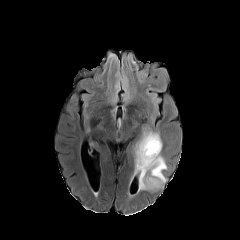
FLAIR MRI.
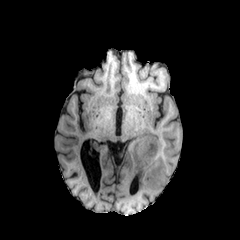
T1-weighted magnetic resonance.
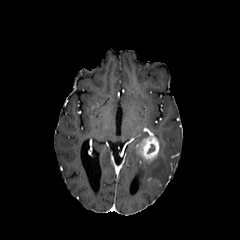
Post-contrast T1-weighted MRI.
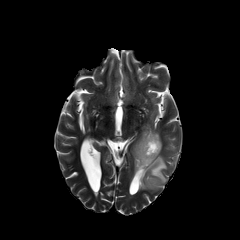
T2-weighted magnetic resonance of the same slice.
240x240. Axial view.
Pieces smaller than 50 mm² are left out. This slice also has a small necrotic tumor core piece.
peritumoral_edema:
  - (left=134, top=133, right=167, bottom=189)
enhancing_tumor:
  - (left=136, top=136, right=159, bottom=163)
  - (left=147, top=177, right=161, bottom=187)